FLAIR magnetic resonance.
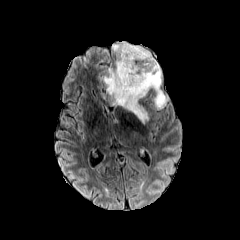
T1-weighted MR.
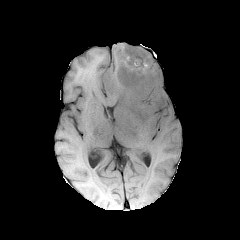
Post-contrast T1-weighted magnetic resonance.
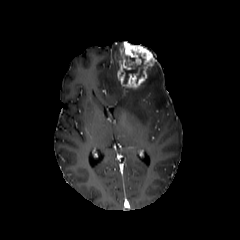
T2-weighted magnetic resonance.
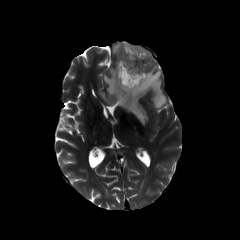
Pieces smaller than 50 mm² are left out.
peritumoral_edema:
  - 103,41,167,123
enhancing_tumor:
  - 117,41,156,89
necrotic_tumor_core:
  - 124,55,143,83